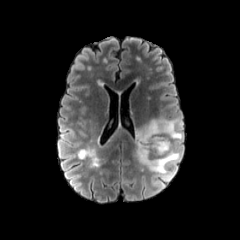
FLAIR magnetic resonance.
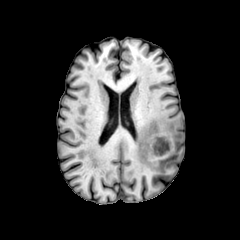
T1-weighted MR.
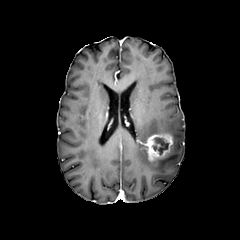
Post-contrast T1-weighted magnetic resonance.
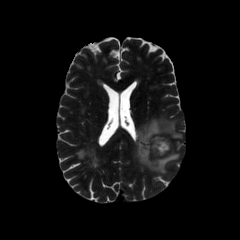
T2-weighted MR image of the same slice.
enhancing tumor — [144, 134, 173, 159]
necrotic tumor core — [152, 137, 168, 154]
peritumoral edema — [135, 117, 183, 173]